FLAIR MR image.
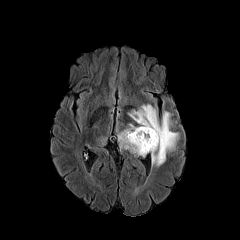
T1-weighted MR image.
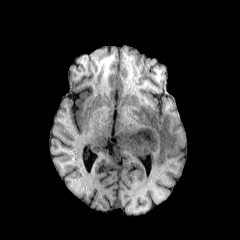
Post-contrast T1-weighted magnetic resonance.
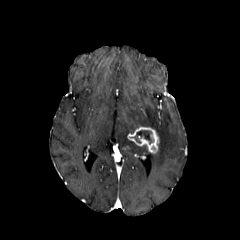
T2-weighted MRI.
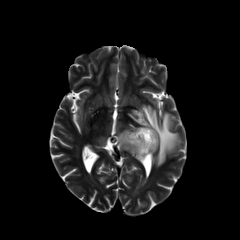
Head, Image size 240x240
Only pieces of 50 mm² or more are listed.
Segmented structures:
• enhancing tumor: bbox=[127, 126, 159, 153]
• necrotic tumor core: bbox=[134, 130, 153, 144]
• peritumoral edema: bbox=[128, 104, 179, 166]; bbox=[116, 122, 148, 155]